FLAIR MRI.
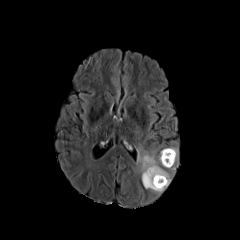
T1-weighted MR.
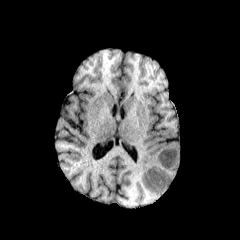
Post-contrast T1-weighted magnetic resonance.
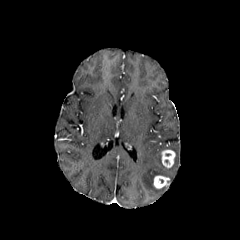
T2-weighted MR.
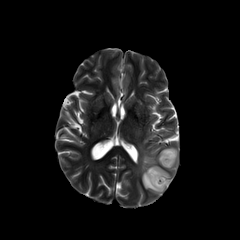
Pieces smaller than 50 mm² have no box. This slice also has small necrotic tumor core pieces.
enhancing_tumor:
  - (left=153, top=175, right=169, bottom=188)
  - (left=161, top=149, right=175, bottom=168)
peritumoral_edema:
  - (left=137, top=147, right=170, bottom=194)
  - (left=163, top=147, right=178, bottom=173)